Slice 81/155; Axial plane; Image covers 240 mm x 240 mm; Brain
FLAIR MR.
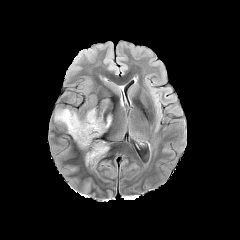
T1-weighted MR image.
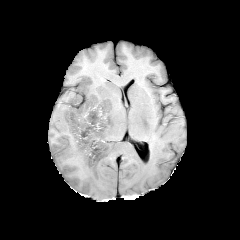
Post-contrast T1-weighted MR.
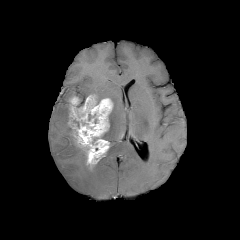
T2-weighted magnetic resonance.
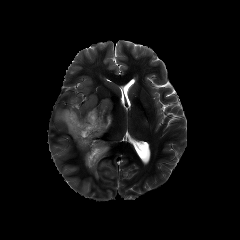
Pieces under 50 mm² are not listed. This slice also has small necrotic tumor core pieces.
The largest peritumoral edema region is located at x1=54, y1=108, x2=75, y2=141. The enhancing tumor is at x1=68, y1=95, x2=112, y2=168.